Brain | Image width 240 mm, 1.00 mm slice spacing
FLAIR magnetic resonance.
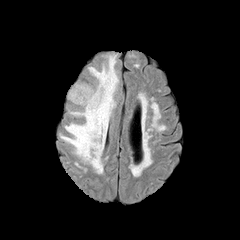
T1-weighted magnetic resonance.
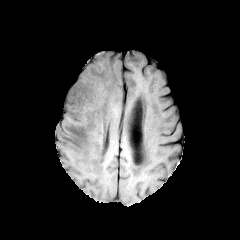
Post-contrast T1-weighted MR.
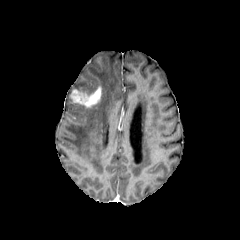
T2-weighted MR image.
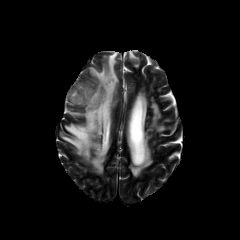
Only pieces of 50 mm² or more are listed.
enhancing tumor: (left=69, top=86, right=101, bottom=107) | peritumoral edema: (left=60, top=54, right=118, bottom=173)